Image covers 240 mm x 240 mm. Slice 105/155. Image size 240x240. Brain. Axial plane.
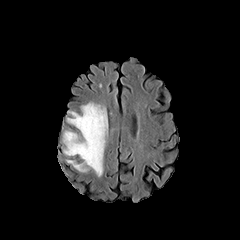
FLAIR MR image.
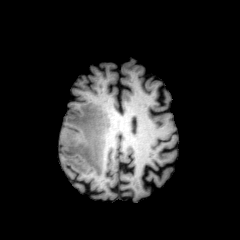
T1-weighted MRI.
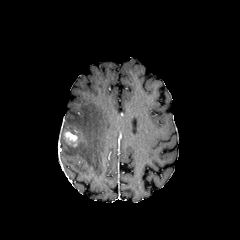
Same slice, post-contrast T1-weighted magnetic resonance.
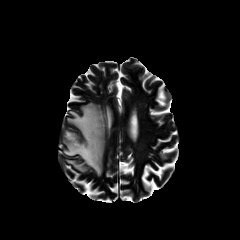
T2-weighted MR image of the same slice.
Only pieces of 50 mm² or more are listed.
The enhancing tumor is bounded by {"x1": 63, "y1": 131, "x2": 78, "y2": 147}. The largest peritumoral edema region appears at {"x1": 63, "y1": 102, "x2": 107, "y2": 176}.